Brain, Axial plane
FLAIR MRI.
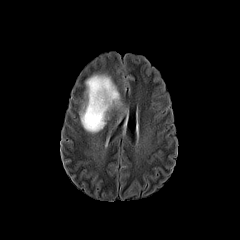
T1-weighted MR image.
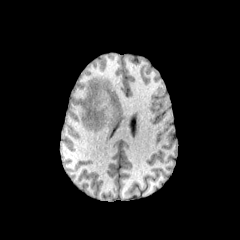
Post-contrast T1-weighted MRI.
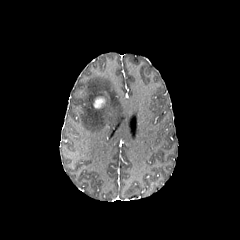
T2-weighted MR.
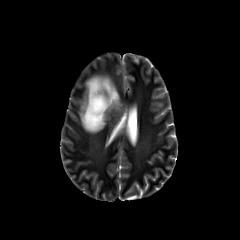
{"peritumoral_edema": ["(78, 72, 122, 133)"], "enhancing_tumor": ["(93, 97, 105, 108)"]}